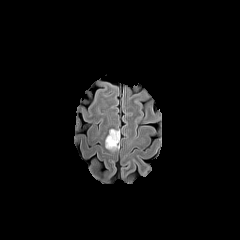
FLAIR MRI.
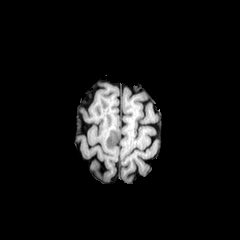
Same slice, T1-weighted magnetic resonance.
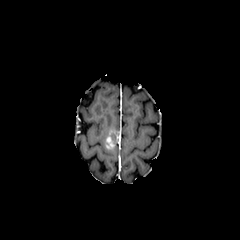
Post-contrast T1-weighted MR of the same slice.
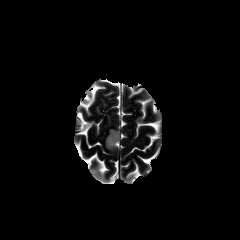
T2-weighted MR image.
Axial plane. Image size 240x240.
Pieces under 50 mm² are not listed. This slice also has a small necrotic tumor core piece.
enhancing tumor: (x1=105, y1=130, x2=118, y2=150)
peritumoral edema: (x1=108, y1=131, x2=119, y2=151)